FLAIR MRI.
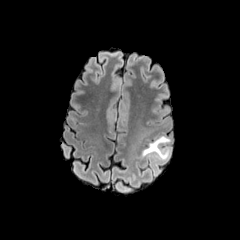
T1-weighted MRI.
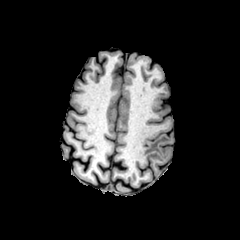
Post-contrast T1-weighted magnetic resonance.
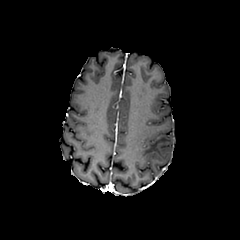
T2-weighted MR.
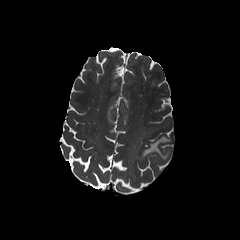
peritumoral edema — box=[141, 136, 170, 159]